FLAIR magnetic resonance.
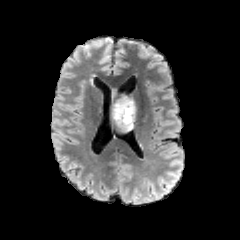
T1-weighted magnetic resonance.
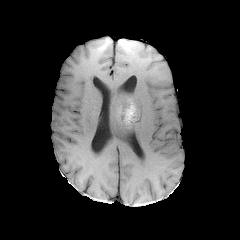
Post-contrast T1-weighted MR image.
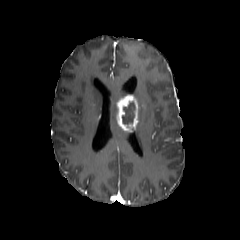
T2-weighted magnetic resonance.
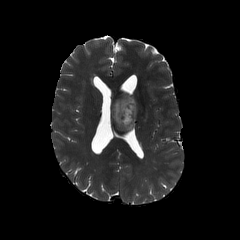
Head, 240x240 px
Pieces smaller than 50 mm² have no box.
<segmentation>
  <peritumoral_edema>left=113, top=101, right=116, bottom=123</peritumoral_edema>
  <necrotic_tumor_core>left=122, top=102, right=135, bottom=124</necrotic_tumor_core>
  <enhancing_tumor>left=116, top=95, right=139, bottom=131</enhancing_tumor>
</segmentation>